FLAIR MR image.
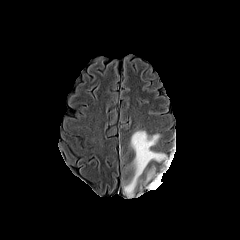
T1-weighted magnetic resonance.
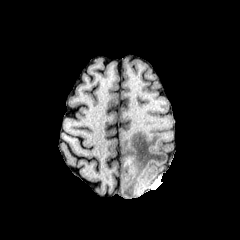
Post-contrast T1-weighted MRI.
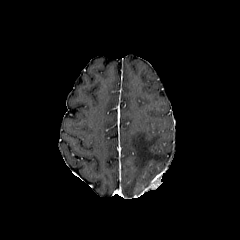
T2-weighted MR image.
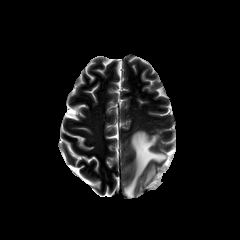
240x240
peritumoral edema: x1=124 y1=130 x2=167 y2=197, x1=146 y1=168 x2=154 y2=181